Axial view | Image size 240x240 | Slice index 82
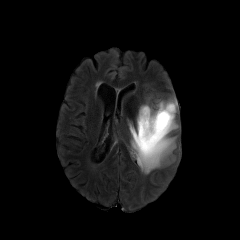
FLAIR MRI.
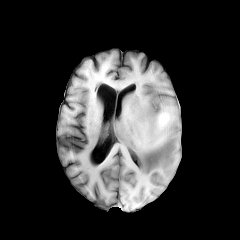
T1-weighted MR image.
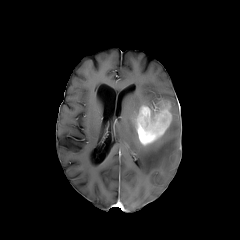
Post-contrast T1-weighted magnetic resonance.
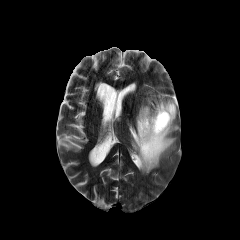
T2-weighted magnetic resonance.
peritumoral edema at bbox=[128, 97, 178, 174]
enhancing tumor at bbox=[136, 101, 171, 145]